Head.
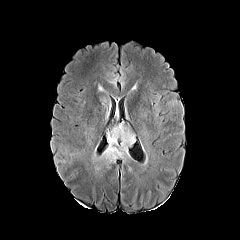
FLAIR MR image.
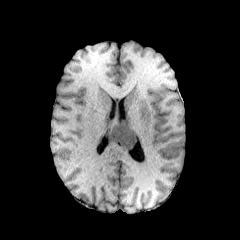
T1-weighted MRI.
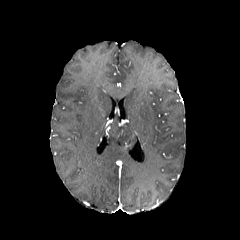
Post-contrast T1-weighted magnetic resonance of the same slice.
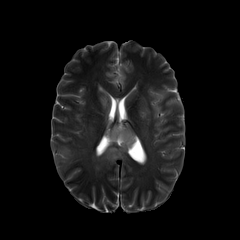
T2-weighted MRI.
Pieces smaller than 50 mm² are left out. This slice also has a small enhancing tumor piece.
peritumoral edema — (101, 97, 108, 115), (101, 124, 135, 161)